Axial slice | Head
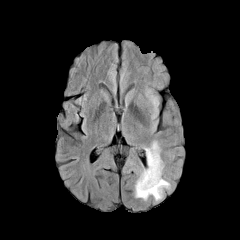
FLAIR MR.
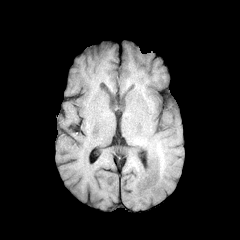
Same slice, T1-weighted MR.
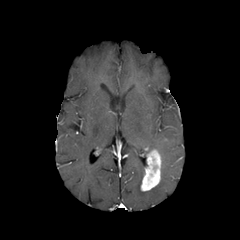
Post-contrast T1-weighted MRI.
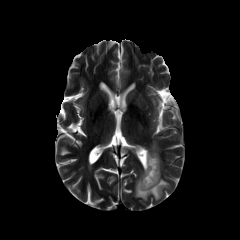
T2-weighted MRI.
Findings:
- peritumoral edema: (x1=135, y1=161, x2=170, y2=200), (x1=144, y1=141, x2=160, y2=154)
- enhancing tumor: (x1=140, y1=149, x2=161, y2=191)